Head
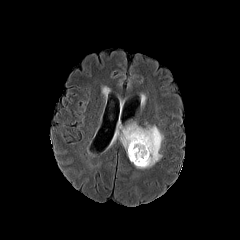
FLAIR MR image.
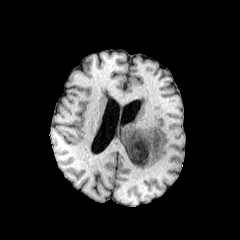
T1-weighted MRI of the same slice.
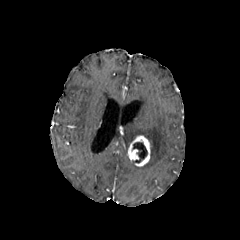
Post-contrast T1-weighted MR.
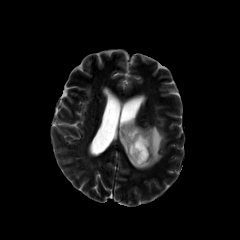
T2-weighted magnetic resonance.
peritumoral_edema:
  - [x1=120, y1=124, x2=163, y2=168]
necrotic_tumor_core:
  - [x1=132, y1=142, x2=147, y2=163]
enhancing_tumor:
  - [x1=127, y1=135, x2=150, y2=166]